FLAIR MR image.
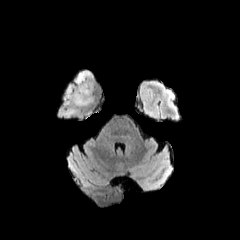
T1-weighted MR.
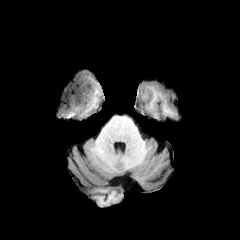
Post-contrast T1-weighted MRI.
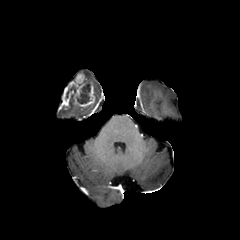
T2-weighted MR.
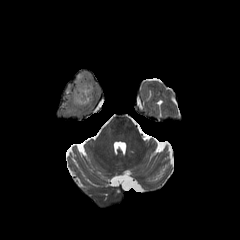
Brain
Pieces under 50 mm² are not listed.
peritumoral edema: {"x1": 62, "y1": 109, "x2": 76, "y2": 116}, {"x1": 81, "y1": 71, "x2": 92, "y2": 80} | necrotic tumor core: {"x1": 77, "y1": 80, "x2": 90, "y2": 103} | enhancing tumor: {"x1": 60, "y1": 73, "x2": 94, "y2": 110}